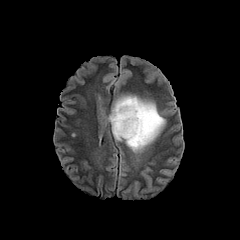
FLAIR MRI.
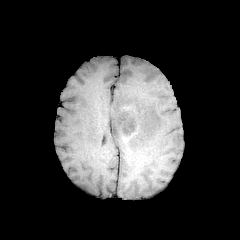
Same slice, T1-weighted MR image.
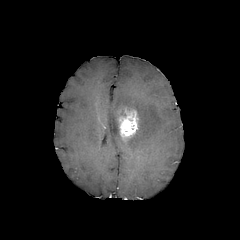
Post-contrast T1-weighted magnetic resonance.
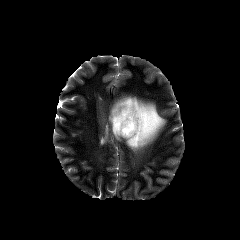
T2-weighted magnetic resonance.
240x240
The peritumoral edema is located at 108 95 165 152. The enhancing tumor lies within 117 107 139 138.